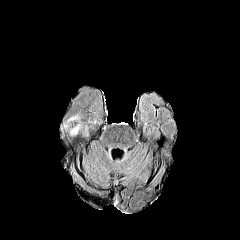
FLAIR magnetic resonance.
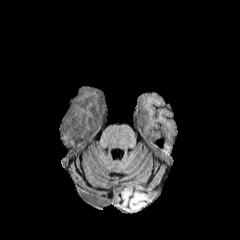
T1-weighted MR.
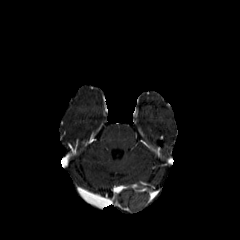
Post-contrast T1-weighted MRI.
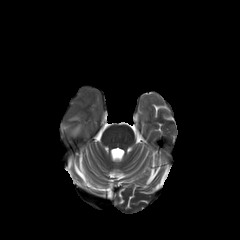
T2-weighted MRI.
Head. 240x240 px.
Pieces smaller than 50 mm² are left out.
peritumoral edema at x1=71 y1=124 x2=80 y2=134